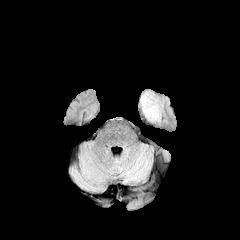
FLAIR magnetic resonance.
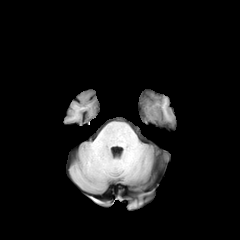
Same slice, T1-weighted MR image.
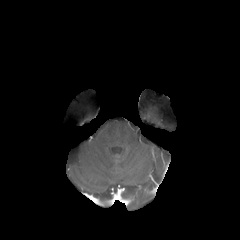
Post-contrast T1-weighted MR image of the same slice.
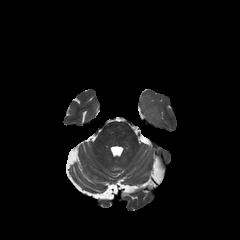
T2-weighted MR image.
Head | Axial plane
The peritumoral edema is at <bbox>140, 92, 163, 122</bbox>.